FLAIR MR image.
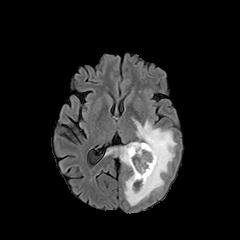
T1-weighted MR image.
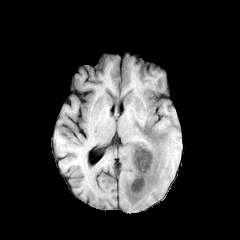
Post-contrast T1-weighted MR.
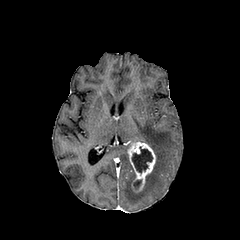
T2-weighted MR.
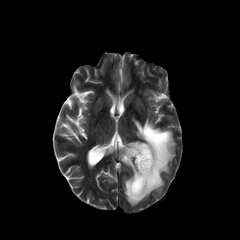
Brain
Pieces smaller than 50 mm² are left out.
peritumoral edema: {"x1": 124, "y1": 119, "x2": 176, "y2": 205}, {"x1": 119, "y1": 143, "x2": 132, "y2": 168} | necrotic tumor core: {"x1": 133, "y1": 180, "x2": 141, "y2": 189}, {"x1": 132, "y1": 147, "x2": 152, "y2": 172} | enhancing tumor: {"x1": 127, "y1": 142, "x2": 156, "y2": 192}